Brain, Slice 42 of 155
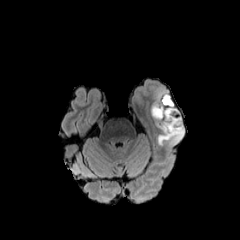
FLAIR MR.
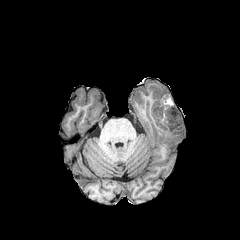
T1-weighted MRI of the same slice.
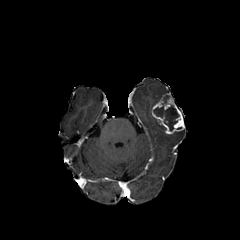
Post-contrast T1-weighted magnetic resonance.
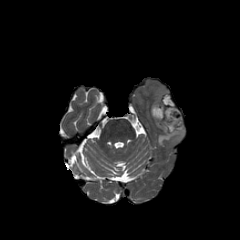
T2-weighted MRI.
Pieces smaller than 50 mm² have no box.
{
  "peritumoral_edema": [
    "bbox=[156, 120, 184, 145]",
    "bbox=[152, 90, 168, 106]"
  ],
  "necrotic_tumor_core": [
    "bbox=[153, 105, 179, 130]"
  ],
  "enhancing_tumor": [
    "bbox=[151, 93, 184, 134]"
  ]
}